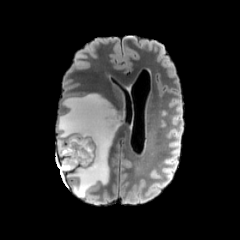
FLAIR MR.
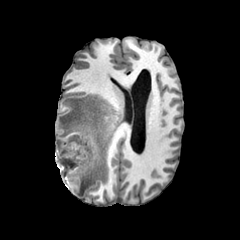
T1-weighted magnetic resonance.
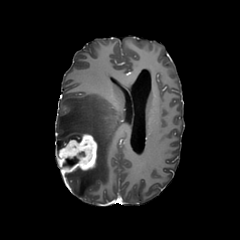
Same slice, post-contrast T1-weighted MR.
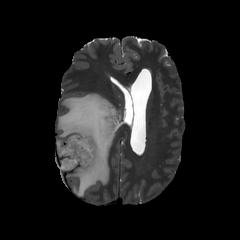
Same slice, T2-weighted magnetic resonance.
240x240 px
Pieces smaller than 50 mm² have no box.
peritumoral edema: bbox(57, 93, 121, 197) | enhancing tumor: bbox(58, 133, 97, 173) | necrotic tumor core: bbox(64, 156, 78, 167)